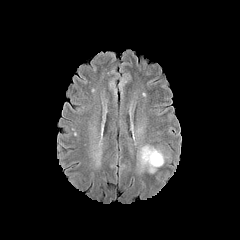
FLAIR MR image.
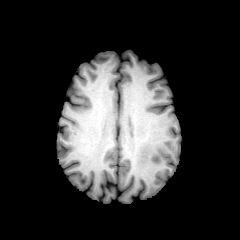
T1-weighted MR image.
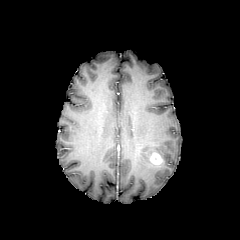
Post-contrast T1-weighted MRI.
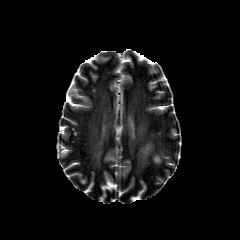
T2-weighted MR image.
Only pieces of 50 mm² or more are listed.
The largest peritumoral edema region lies within l=141, t=146, r=163, b=167. The enhancing tumor appears at l=150, t=153, r=162, b=164.